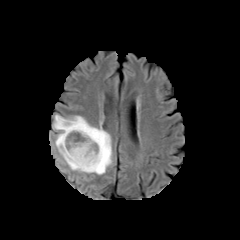
FLAIR magnetic resonance.
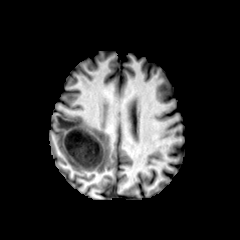
T1-weighted magnetic resonance.
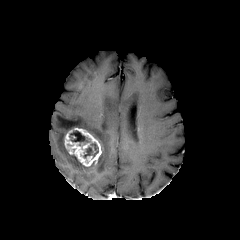
Post-contrast T1-weighted MR.
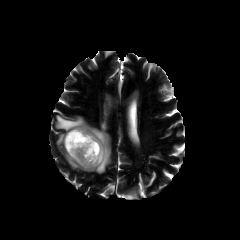
T2-weighted MR of the same slice.
Axial slice; Head
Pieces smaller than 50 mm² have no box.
The largest enhancing tumor region is bounded by region(63, 126, 102, 166). 2 necrotic tumor core regions are bounded by region(83, 143, 98, 157); region(69, 130, 88, 142). The peritumoral edema is located at region(53, 114, 112, 174).